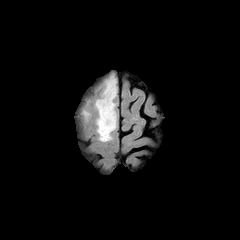
FLAIR MR.
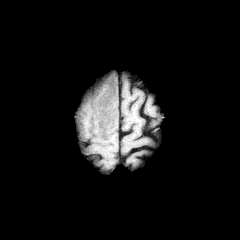
T1-weighted MR image.
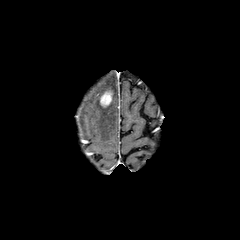
Post-contrast T1-weighted MRI.
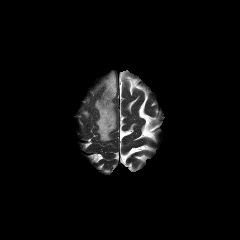
T2-weighted magnetic resonance of the same slice.
Head
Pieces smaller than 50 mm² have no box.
Findings:
• enhancing tumor: rect(100, 89, 113, 107)
• peritumoral edema: rect(95, 75, 116, 141)